FLAIR MRI.
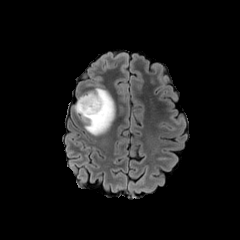
T1-weighted magnetic resonance.
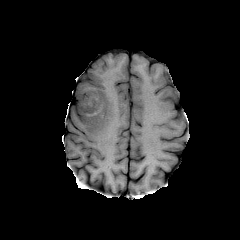
Post-contrast T1-weighted MRI.
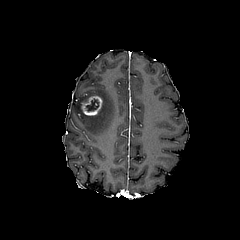
T2-weighted MR image.
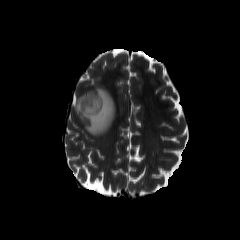
Axial view | Brain
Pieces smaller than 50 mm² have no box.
The largest enhancing tumor region is at {"x1": 81, "y1": 95, "x2": 102, "y2": 115}. The peritumoral edema is located at {"x1": 74, "y1": 87, "x2": 115, "y2": 135}. The necrotic tumor core is at {"x1": 86, "y1": 99, "x2": 98, "y2": 111}.